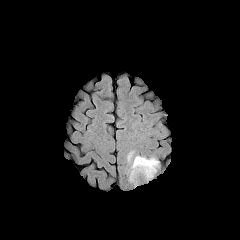
FLAIR MRI.
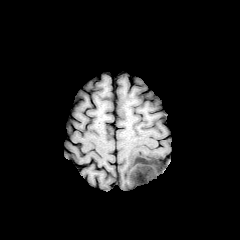
T1-weighted MR.
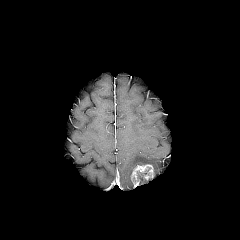
Post-contrast T1-weighted MR image.
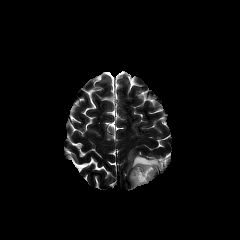
Same slice, T2-weighted magnetic resonance.
Brain
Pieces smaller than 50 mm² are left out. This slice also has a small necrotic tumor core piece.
{"enhancing_tumor": ["x1=131, y1=164, x2=153, y2=186"], "peritumoral_edema": ["x1=129, y1=155, x2=159, y2=180"]}